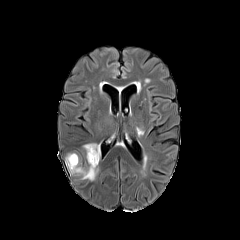
FLAIR MR image.
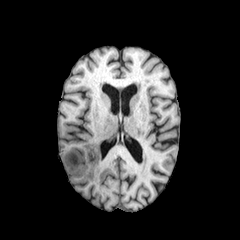
T1-weighted MRI of the same slice.
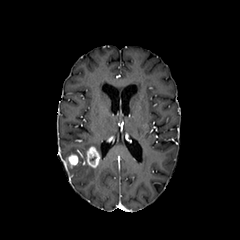
Post-contrast T1-weighted magnetic resonance.
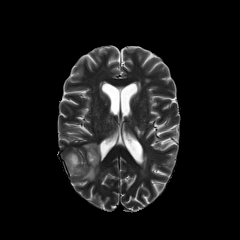
Same slice, T2-weighted MR.
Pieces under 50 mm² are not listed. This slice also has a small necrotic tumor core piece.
2 enhancing tumor regions are bounded by l=65, t=154, r=78, b=168; l=86, t=146, r=99, b=167. The 2 largest peritumoral edema regions are bounded by l=83, t=143, r=100, b=157; l=67, t=162, r=98, b=180.